Brain; Slice index 41; Image size 240x240
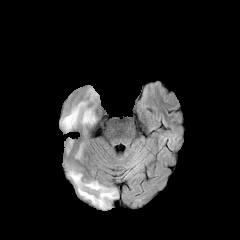
FLAIR MR image.
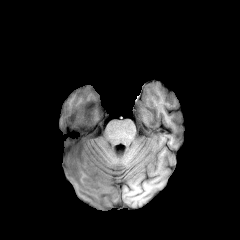
T1-weighted magnetic resonance of the same slice.
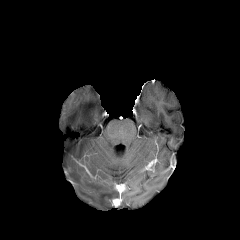
Post-contrast T1-weighted magnetic resonance of the same slice.
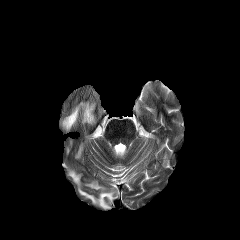
T2-weighted MR image.
peritumoral edema — rect(68, 170, 117, 208); rect(76, 144, 82, 158); rect(61, 101, 95, 130)